FLAIR MRI.
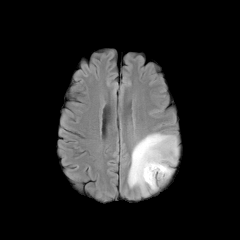
T1-weighted MR image.
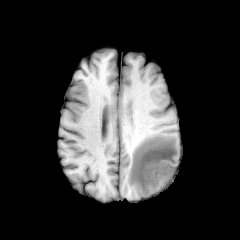
Post-contrast T1-weighted MR image.
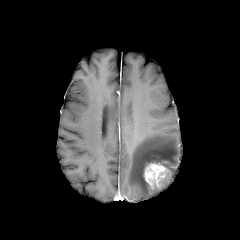
T2-weighted MRI.
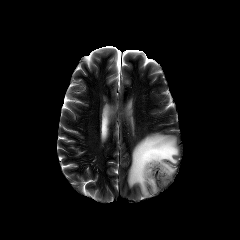
Brain.
peritumoral edema: box=[128, 133, 178, 196] | enhancing tumor: box=[144, 162, 170, 188]